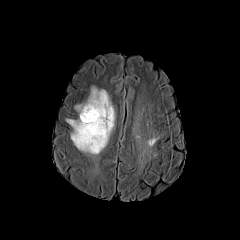
FLAIR magnetic resonance.
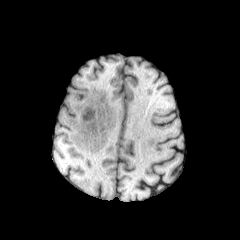
T1-weighted MR.
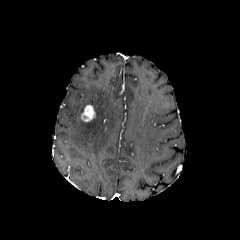
Post-contrast T1-weighted MR of the same slice.
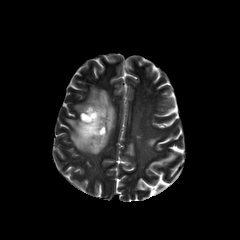
T2-weighted MRI.
240x240
{"peritumoral_edema": ["66, 86, 115, 154"], "enhancing_tumor": ["81, 105, 95, 122"]}